FLAIR magnetic resonance.
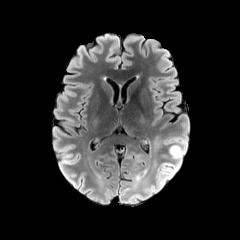
T1-weighted MRI.
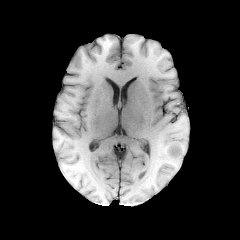
Post-contrast T1-weighted MR image.
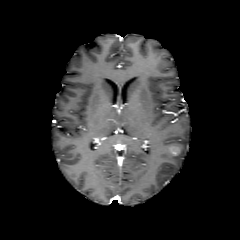
T2-weighted magnetic resonance.
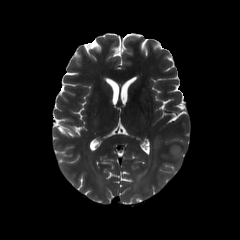
Axial plane
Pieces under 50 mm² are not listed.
peritumoral edema: left=157, top=136, right=187, bottom=187 | enhancing tumor: left=168, top=145, right=181, bottom=156